Slice 103 of 155; Axial slice; Image width 240 mm, 1.00 mm slice spacing
FLAIR MR image.
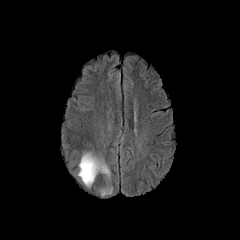
T1-weighted MR image.
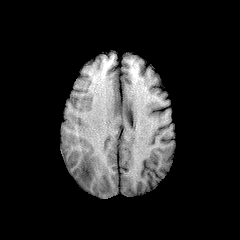
Post-contrast T1-weighted MR.
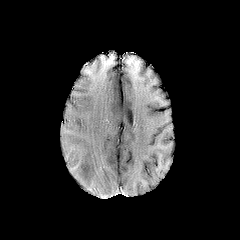
T2-weighted magnetic resonance.
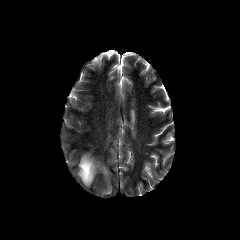
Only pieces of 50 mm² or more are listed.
The largest peritumoral edema region is at (78, 153, 109, 186).